Slice index 58 | 240x240 | Axial plane
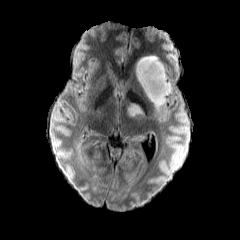
FLAIR MR.
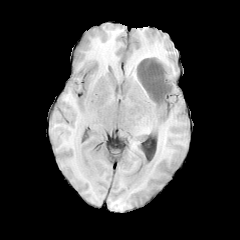
Same slice, T1-weighted MR.
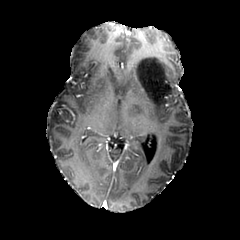
Same slice, post-contrast T1-weighted MR image.
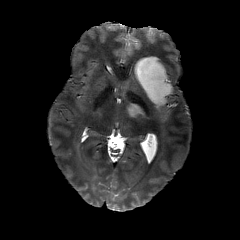
T2-weighted magnetic resonance.
2 peritumoral edema regions appear at 128:102:143:115, 135:55:172:107.